FLAIR magnetic resonance.
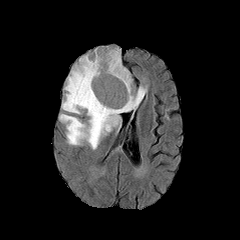
T1-weighted MR image.
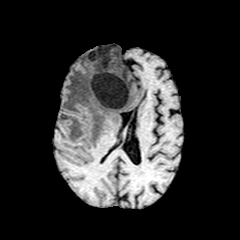
Post-contrast T1-weighted MR.
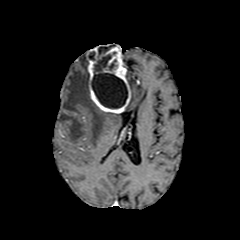
T2-weighted MRI.
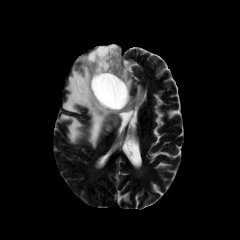
240x240
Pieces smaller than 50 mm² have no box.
The 3 largest peritumoral edema regions appear at region(124, 86, 146, 111); region(126, 71, 132, 90); region(59, 55, 120, 149). The largest enhancing tumor region lies within region(86, 45, 131, 113). The 3 largest necrotic tumor core regions are bounded by region(98, 45, 114, 57); region(88, 51, 95, 60); region(91, 54, 127, 108).